FLAIR MR image.
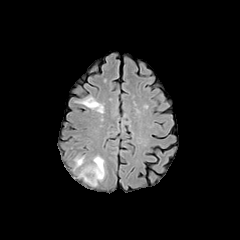
T1-weighted MR image.
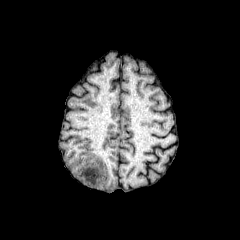
Post-contrast T1-weighted magnetic resonance.
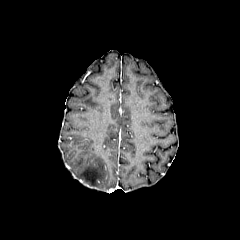
T2-weighted MR.
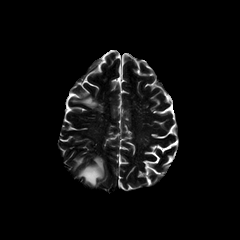
240x240 | Brain
<segmentation>
  <peritumoral_edema>(74, 157, 84, 169), (78, 156, 104, 186)</peritumoral_edema>
</segmentation>